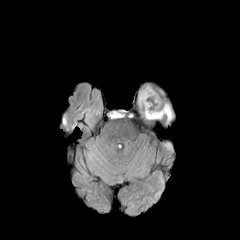
FLAIR MR image.
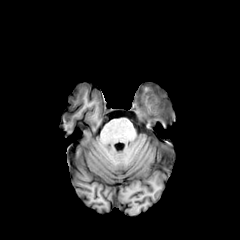
T1-weighted MR.
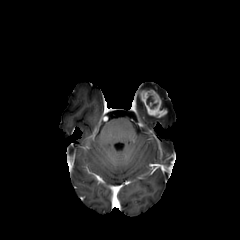
Post-contrast T1-weighted MR image of the same slice.
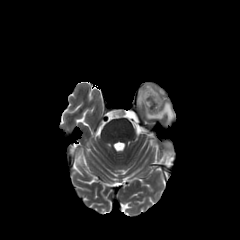
Same slice, T2-weighted MR image.
Axial view | 240x240 px
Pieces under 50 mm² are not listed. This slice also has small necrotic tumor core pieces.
peritumoral edema at l=164, t=103, r=172, b=120
enhancing tumor at l=139, t=89, r=167, b=117